Brain. Axial slice. Slice 89/155.
FLAIR MR.
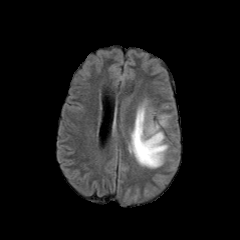
T1-weighted MRI.
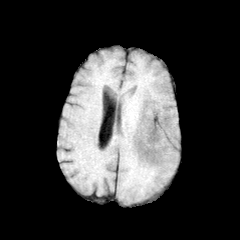
Post-contrast T1-weighted MR image.
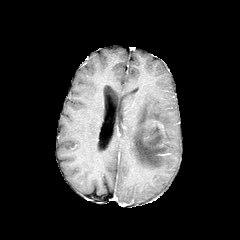
T2-weighted MR image.
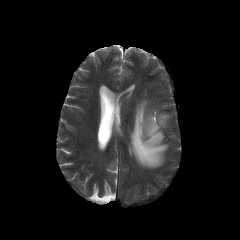
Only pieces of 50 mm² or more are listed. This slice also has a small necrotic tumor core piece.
peritumoral edema — x1=128 y1=100 x2=170 y2=168
enhancing tumor — x1=149 y1=120 x2=162 y2=127